FLAIR magnetic resonance.
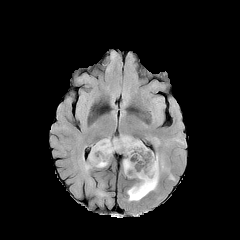
T1-weighted MR.
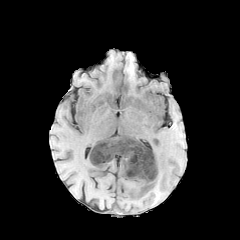
Post-contrast T1-weighted MR image.
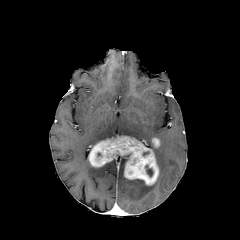
T2-weighted magnetic resonance.
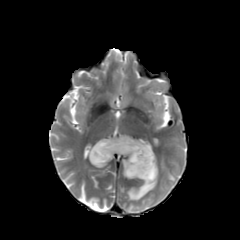
Brain | 240x240 px | Axial view
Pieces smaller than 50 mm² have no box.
necrotic tumor core = {"x1": 145, "y1": 165, "x2": 153, "y2": 177}
peritumoral edema = {"x1": 127, "y1": 172, "x2": 159, "y2": 200}, {"x1": 155, "y1": 155, "x2": 168, "y2": 171}
enhancing tumor = {"x1": 151, "y1": 138, "x2": 159, "y2": 146}, {"x1": 89, "y1": 136, "x2": 159, "y2": 185}